Head; Axial slice
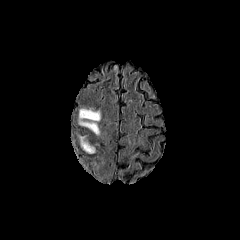
FLAIR MRI.
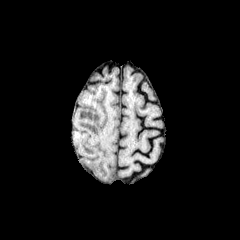
Same slice, T1-weighted MR.
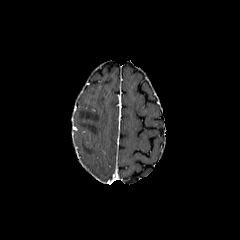
Same slice, post-contrast T1-weighted MR.
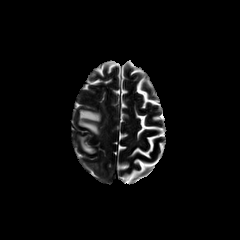
T2-weighted magnetic resonance.
2 peritumoral edema regions are located at (79,136,95,153), (79,109,100,134).